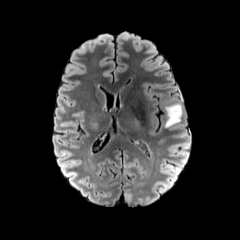
FLAIR magnetic resonance.
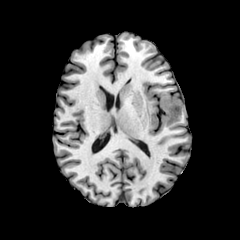
T1-weighted magnetic resonance.
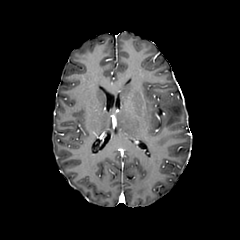
Same slice, post-contrast T1-weighted MRI.
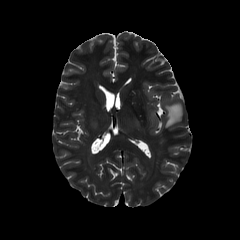
Same slice, T2-weighted MR.
Brain
{
  "peritumoral_edema": [
    "165:103:181:126"
  ]
}